FLAIR MRI.
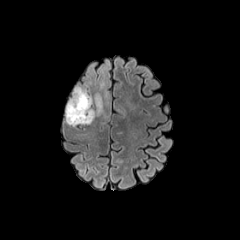
T1-weighted MRI.
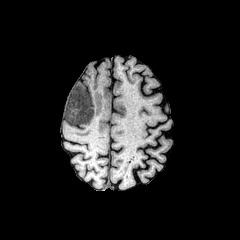
Post-contrast T1-weighted MRI.
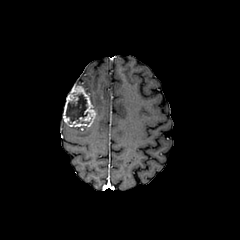
T2-weighted MR image.
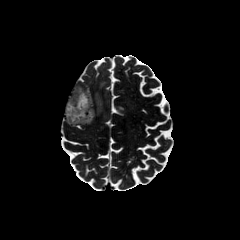
Axial view
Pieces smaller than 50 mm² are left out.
peritumoral edema — rect(94, 65, 107, 115)
enhancing tumor — rect(63, 86, 96, 126)
necrotic tumor core — rect(66, 94, 87, 122)